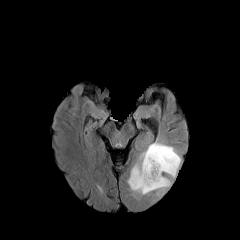
FLAIR MR image.
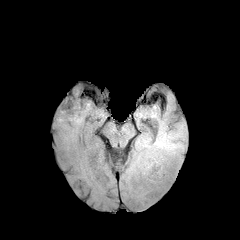
T1-weighted magnetic resonance.
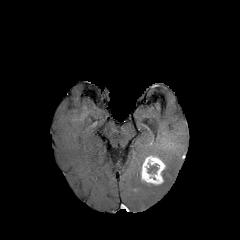
Post-contrast T1-weighted MRI of the same slice.
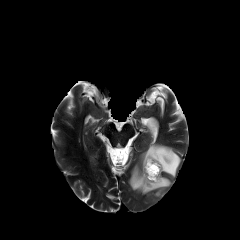
T2-weighted magnetic resonance.
Head.
Findings:
* enhancing tumor: bbox(141, 155, 165, 185)
* necrotic tumor core: bbox(144, 160, 160, 179)
* peritumoral edema: bbox(127, 141, 181, 195)